Brain
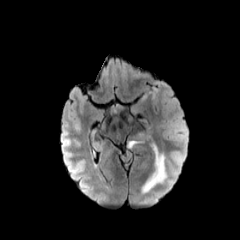
FLAIR MR.
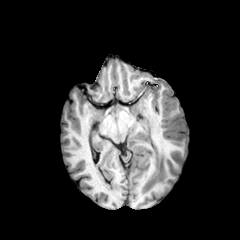
T1-weighted magnetic resonance.
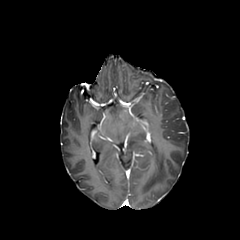
Same slice, post-contrast T1-weighted MRI.
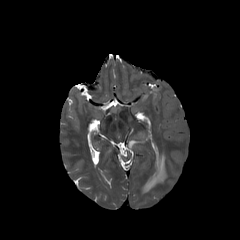
T2-weighted MR image of the same slice.
2 peritumoral edema regions are bounded by (x1=128, y1=141, x2=143, y2=147), (x1=142, y1=146, x2=167, y2=193).